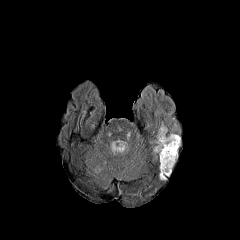
FLAIR magnetic resonance.
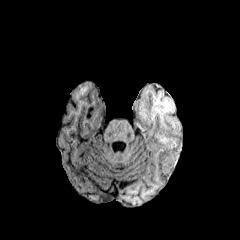
T1-weighted MR image.
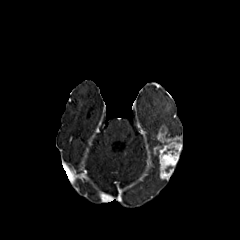
Same slice, post-contrast T1-weighted magnetic resonance.
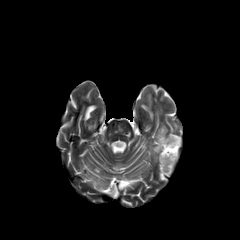
T2-weighted MRI of the same slice.
Head; Axial view
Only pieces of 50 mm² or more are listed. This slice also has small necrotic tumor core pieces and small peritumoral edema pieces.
Segmented structures:
• enhancing tumor: box=[153, 125, 181, 179]